Axial slice, Image covers 240 mm x 240 mm, Brain
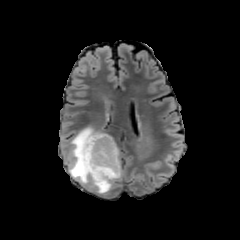
FLAIR MRI.
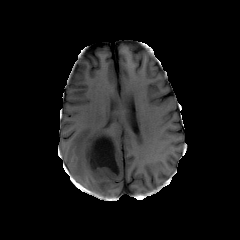
Same slice, T1-weighted MRI.
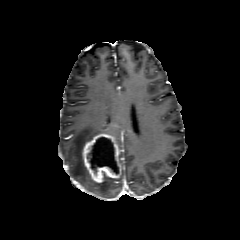
Same slice, post-contrast T1-weighted magnetic resonance.
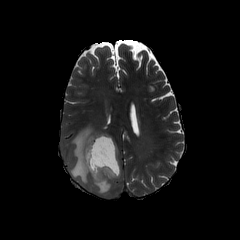
T2-weighted MRI.
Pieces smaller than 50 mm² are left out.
Annotated regions:
• necrotic tumor core: (x1=88, y1=137, x2=118, y2=174)
• enhancing tumor: (x1=82, y1=133, x2=121, y2=183)
• peritumoral edema: (x1=67, y1=126, x2=122, y2=193)